Brain
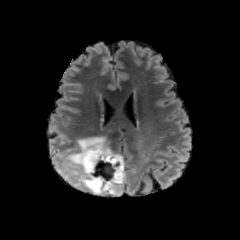
FLAIR MR image.
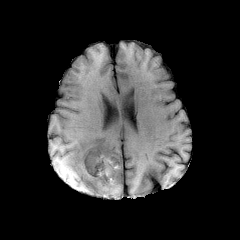
T1-weighted MRI.
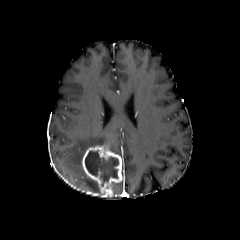
Post-contrast T1-weighted MR image.
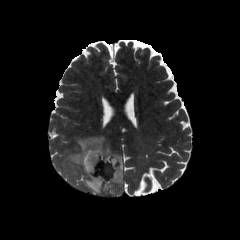
Same slice, T2-weighted MRI.
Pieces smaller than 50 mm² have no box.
necrotic tumor core: [85,151,118,186]
peritumoral edema: [112,182,123,192], [65,136,118,192]
enhancing tumor: [82,145,122,192]